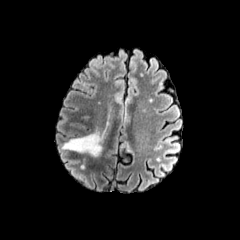
FLAIR MR.
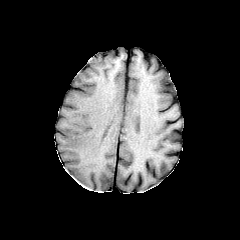
T1-weighted MR.
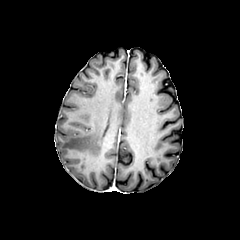
Same slice, post-contrast T1-weighted MR.
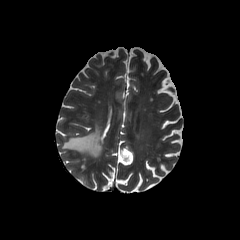
T2-weighted magnetic resonance of the same slice.
240x240 px
The peritumoral edema is located at bbox=[62, 130, 101, 157].